Head | Image width 240 mm, 1.00 mm slice spacing | Axial slice | 240x240
FLAIR MRI.
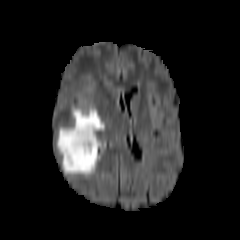
T1-weighted MR image.
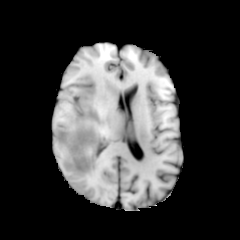
Post-contrast T1-weighted MR image.
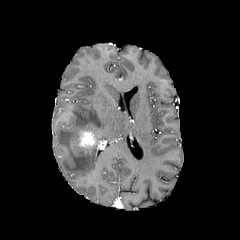
T2-weighted MRI.
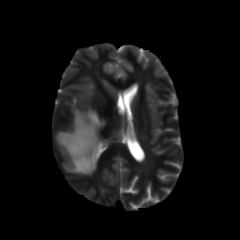
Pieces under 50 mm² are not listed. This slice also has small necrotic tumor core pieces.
<segmentation>
  <enhancing_tumor>71,127,96,153</enhancing_tumor>
  <peritumoral_edema>57,106,105,174</peritumoral_edema>
</segmentation>